FLAIR MR image.
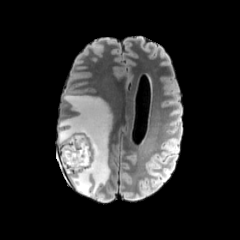
T1-weighted MRI.
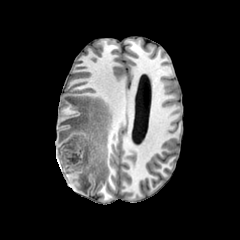
Post-contrast T1-weighted MRI.
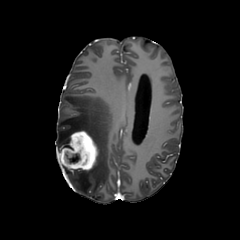
T2-weighted magnetic resonance.
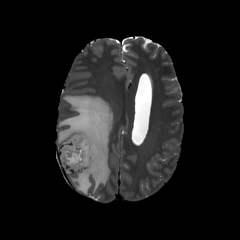
240x240 px; Axial slice
necrotic tumor core at box(65, 153, 79, 163)
enhancing tumor at box(60, 130, 98, 171)
peritumoral edema at box(57, 94, 112, 195)